Head | 240x240
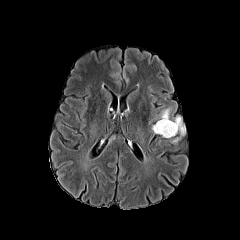
FLAIR MR image.
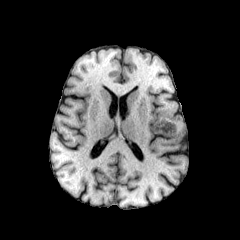
T1-weighted MRI.
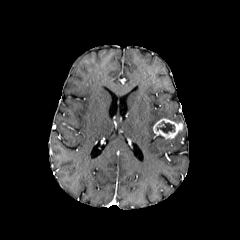
Post-contrast T1-weighted MR image.
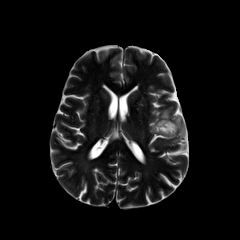
T2-weighted magnetic resonance of the same slice.
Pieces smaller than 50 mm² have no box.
{
  "peritumoral_edema": [
    "160:108:170:119"
  ],
  "enhancing_tumor": [
    "153:118:183:139"
  ],
  "necrotic_tumor_core": [
    "157:121:174:133"
  ]
}